Image size 240x240; Brain; Slice 77/155
FLAIR MR.
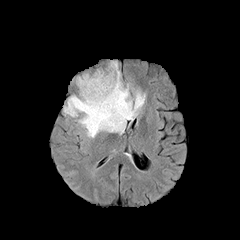
T1-weighted MR image.
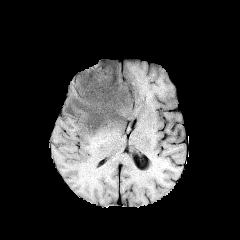
Post-contrast T1-weighted MRI.
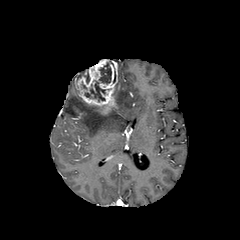
T2-weighted magnetic resonance.
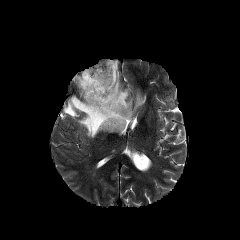
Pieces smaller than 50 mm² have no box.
{
  "enhancing_tumor": [
    "box=[75, 59, 119, 115]"
  ],
  "necrotic_tumor_core": [
    "box=[99, 63, 111, 83]",
    "box=[84, 80, 105, 101]"
  ],
  "peritumoral_edema": [
    "box=[64, 65, 145, 137]"
  ]
}